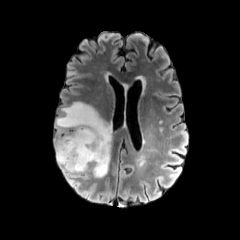
FLAIR magnetic resonance.
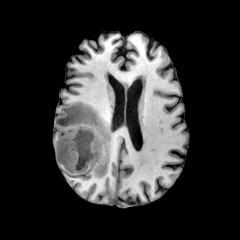
T1-weighted MR.
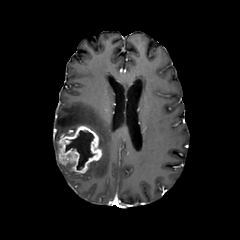
Post-contrast T1-weighted MRI.
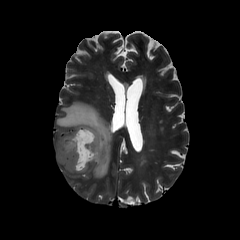
T2-weighted MR image of the same slice.
Axial slice
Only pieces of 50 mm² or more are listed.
necrotic tumor core — (left=65, top=130, right=94, bottom=169)
peritumoral edema — (left=55, top=101, right=112, bottom=177)
enhancing tumor — (left=58, top=125, right=102, bottom=173)